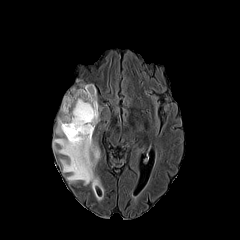
FLAIR MR.
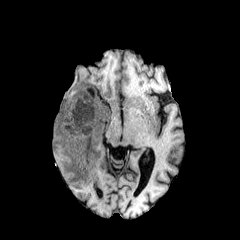
T1-weighted MRI.
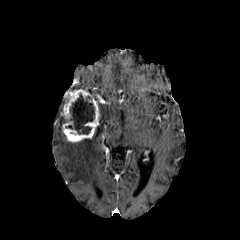
Post-contrast T1-weighted MRI.
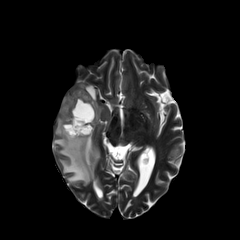
T2-weighted MR image.
Axial view, Head
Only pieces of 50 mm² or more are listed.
The largest enhancing tumor region lies within bbox=[60, 86, 99, 142]. The 2 largest peritumoral edema regions appear at bbox=[53, 116, 98, 185]; bbox=[92, 176, 104, 200]. The largest necrotic tumor core region lies within bbox=[65, 94, 94, 134].